FLAIR MR image.
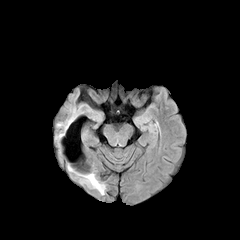
T1-weighted MR.
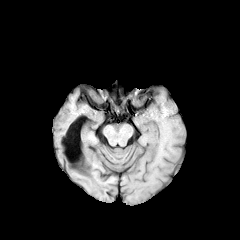
Post-contrast T1-weighted MRI.
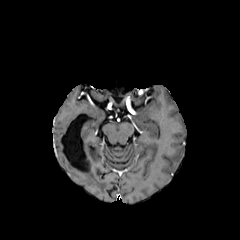
T2-weighted MR.
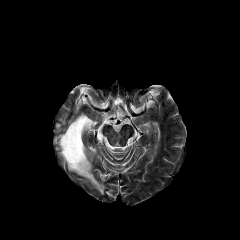
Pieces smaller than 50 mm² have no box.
The largest peritumoral edema region appears at 83,173,104,194.